FLAIR magnetic resonance.
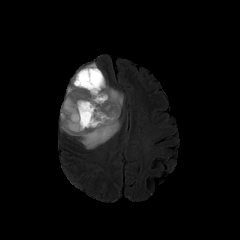
T1-weighted MRI.
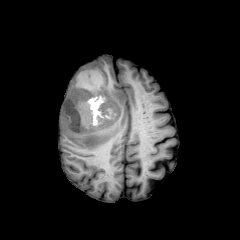
Post-contrast T1-weighted MR image.
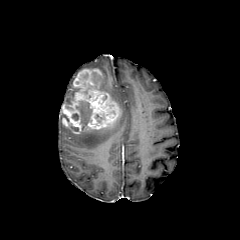
T2-weighted MRI.
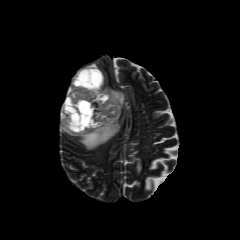
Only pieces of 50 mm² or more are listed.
The 4 largest peritumoral edema regions appear at <bbox>60, 111, 120, 149</bbox>, <bbox>79, 62, 97, 70</bbox>, <bbox>99, 74, 124, 110</bbox>, <bbox>64, 72, 79, 104</bbox>. The 2 largest necrotic tumor core regions are bounded by <bbox>92, 72, 102, 87</bbox>, <bbox>72, 101, 92, 129</bbox>. The largest enhancing tumor region appears at <bbox>61, 68, 120, 133</bbox>.